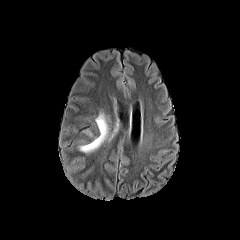
FLAIR MRI.
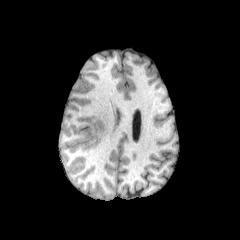
T1-weighted magnetic resonance of the same slice.
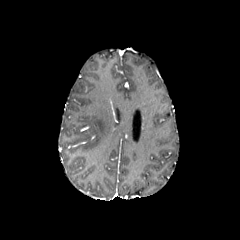
Same slice, post-contrast T1-weighted magnetic resonance.
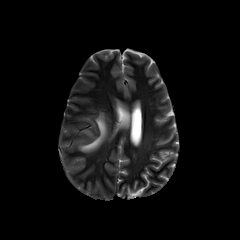
T2-weighted MRI of the same slice.
240x240 px | Axial plane
<segmentation>
  <peritumoral_edema>region(80, 112, 119, 152)</peritumoral_edema>
</segmentation>